Slice index 47, Brain
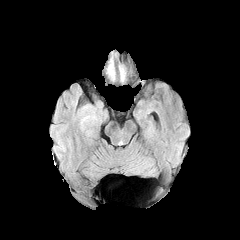
FLAIR magnetic resonance.
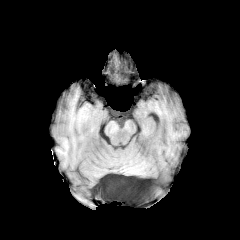
T1-weighted MRI.
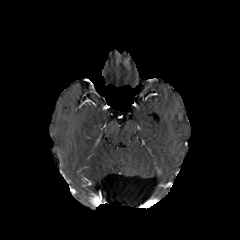
Post-contrast T1-weighted MRI.
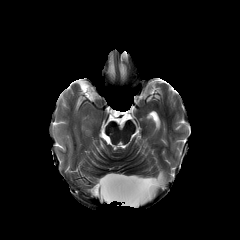
T2-weighted MR of the same slice.
• peritumoral edema: <box>119,65,125,80</box>, <box>107,59,114,79</box>